Axial view, Head
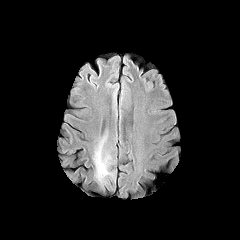
FLAIR magnetic resonance.
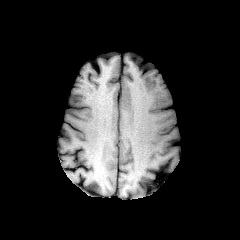
T1-weighted MR image of the same slice.
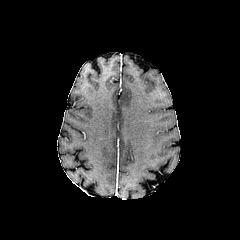
Post-contrast T1-weighted MRI.
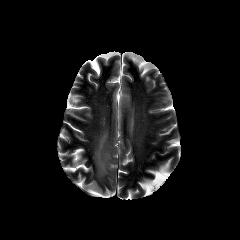
T2-weighted magnetic resonance.
peritumoral_edema:
  - bbox=[94, 149, 109, 178]